FLAIR MRI.
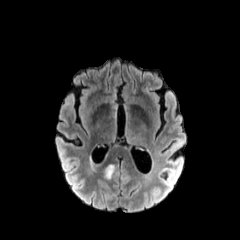
T1-weighted magnetic resonance.
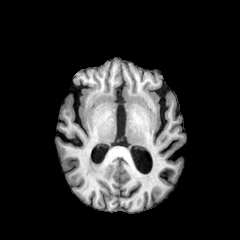
Post-contrast T1-weighted MR image.
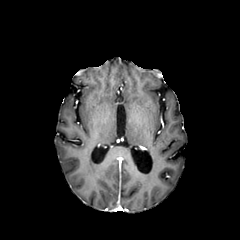
T2-weighted MR.
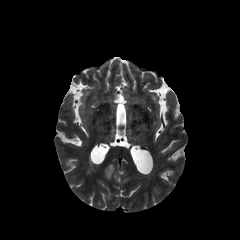
Brain; 240x240
Findings:
• peritumoral edema: 104,164,114,178